Image width 240 mm, 1.00 mm slice spacing; Brain; Axial plane
FLAIR magnetic resonance.
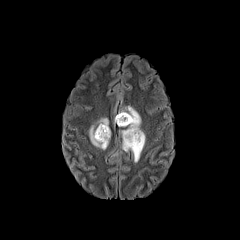
T1-weighted MRI.
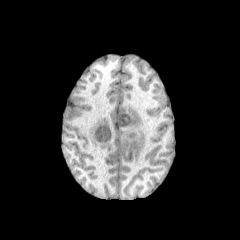
Post-contrast T1-weighted MR.
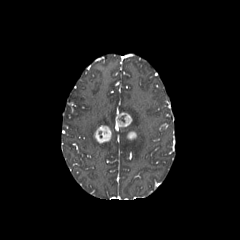
T2-weighted MR image.
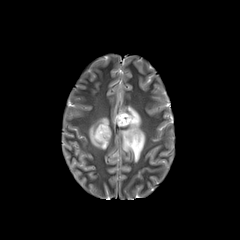
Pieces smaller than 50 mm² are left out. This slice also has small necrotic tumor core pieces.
enhancing tumor: x1=127, y1=131, x2=136, y2=140; x1=115, y1=112, x2=132, y2=126; x1=94, y1=125, x2=111, y2=143 | peritumoral edema: x1=89, y1=118, x2=108, y2=149; x1=120, y1=106, x2=145, y2=162